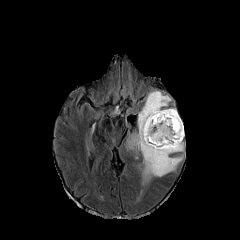
FLAIR MRI.
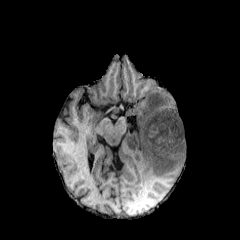
T1-weighted MR image.
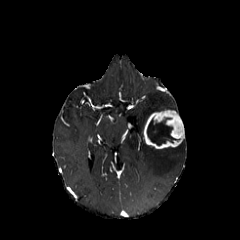
Post-contrast T1-weighted MRI of the same slice.
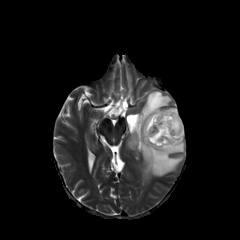
T2-weighted MR.
Brain; Axial slice
The peritumoral edema is located at rect(127, 90, 184, 184). The necrotic tumor core is at rect(147, 118, 176, 145). The enhancing tumor appears at rect(143, 110, 184, 149).